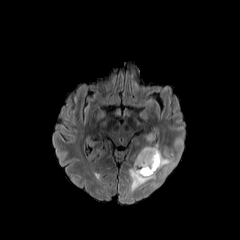
FLAIR MRI.
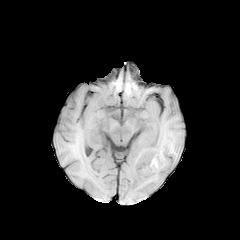
Same slice, T1-weighted MR image.
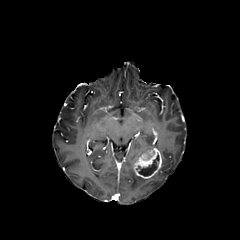
Post-contrast T1-weighted MR image.
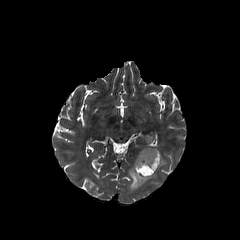
T2-weighted MR.
Brain | Axial plane
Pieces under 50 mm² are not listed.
The enhancing tumor appears at 133, 148, 162, 178. 2 peritumoral edema regions are bounded by 135, 147, 158, 161; 128, 150, 175, 191. The largest necrotic tumor core region lies within 138, 154, 159, 176.